Slice index 42; Axial view
FLAIR MR image.
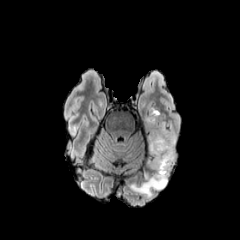
T1-weighted MR image.
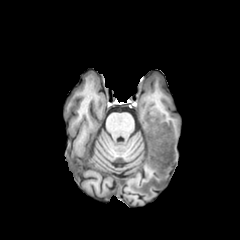
Post-contrast T1-weighted magnetic resonance.
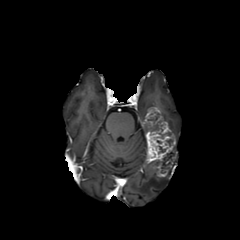
T2-weighted MRI.
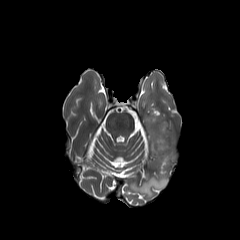
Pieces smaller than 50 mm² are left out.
The largest necrotic tumor core region is at 152, 152, 173, 172. The 2 largest peritumoral edema regions are bounded by 130, 167, 171, 197; 168, 122, 176, 143. The enhancing tumor appears at 144, 107, 175, 177.